FLAIR magnetic resonance.
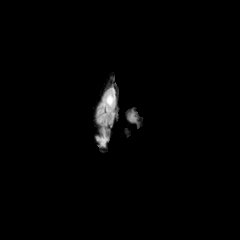
T1-weighted MR.
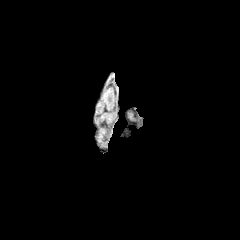
Post-contrast T1-weighted MR.
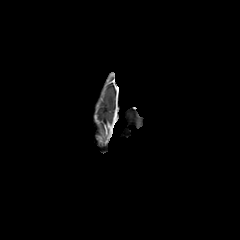
T2-weighted MR image.
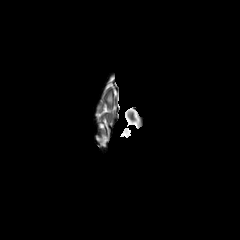
Brain | Axial slice | 240x240
<segmentation>
  <peritumoral_edema>(106,92,113,104)</peritumoral_edema>
</segmentation>